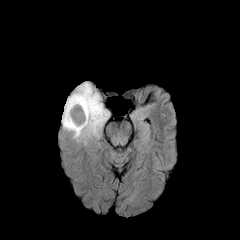
FLAIR magnetic resonance.
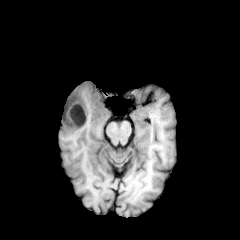
T1-weighted MRI.
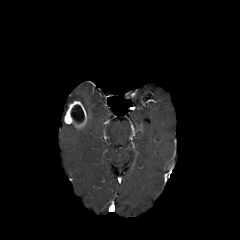
Post-contrast T1-weighted MRI.
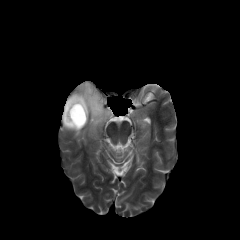
Same slice, T2-weighted MR image.
240x240; Axial plane; Head
enhancing_tumor:
  - l=64, t=100, r=87, b=129
necrotic_tumor_core:
  - l=71, t=105, r=84, b=123
peritumoral_edema:
  - l=62, t=82, r=109, b=144